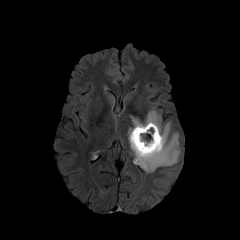
FLAIR magnetic resonance.
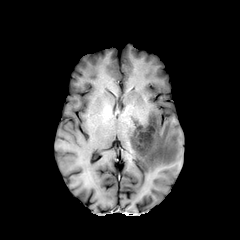
Same slice, T1-weighted magnetic resonance.
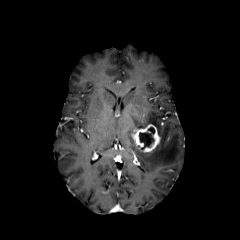
Post-contrast T1-weighted MRI of the same slice.
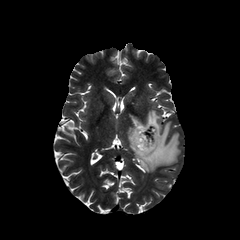
T2-weighted magnetic resonance.
Axial view | Brain
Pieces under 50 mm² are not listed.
Segmented structures:
* enhancing tumor: 132, 124, 160, 152
* peritumoral edema: 128, 109, 180, 172
* necrotic tumor core: 139, 127, 154, 149